FLAIR MR.
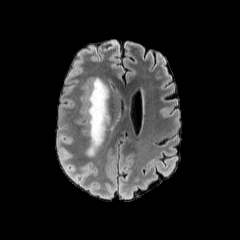
T1-weighted MR.
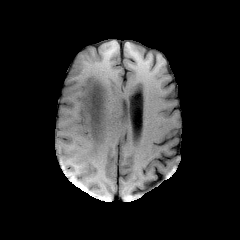
Post-contrast T1-weighted magnetic resonance.
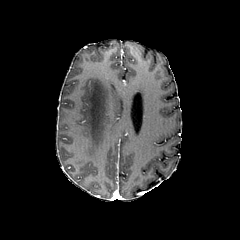
T2-weighted MR.
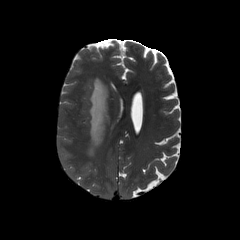
Brain. Axial slice. Image size 240x240.
- peritumoral edema: (86, 78, 109, 156)